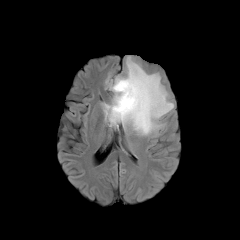
FLAIR magnetic resonance.
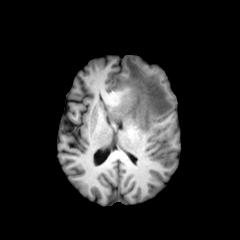
T1-weighted magnetic resonance.
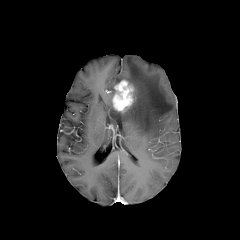
Post-contrast T1-weighted magnetic resonance.
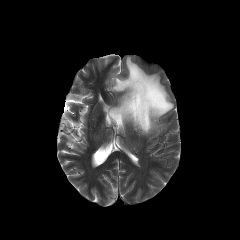
T2-weighted magnetic resonance.
peritumoral_edema:
  - [x1=103, y1=57, x2=173, y2=135]
enhancing_tumor:
  - [x1=113, y1=80, x2=133, y2=111]